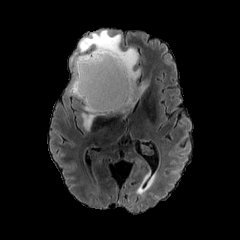
FLAIR MRI.
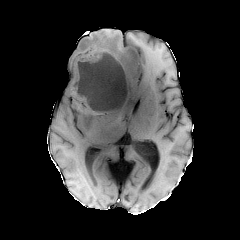
T1-weighted MR image.
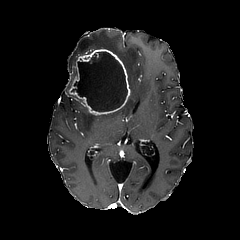
Same slice, post-contrast T1-weighted MR.
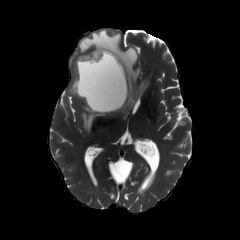
T2-weighted MR image.
Brain
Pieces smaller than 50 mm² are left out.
<segmentation>
  <enhancing_tumor>69 48 131 115</enhancing_tumor>
  <peritumoral_edema>67 29 147 116, 81 112 96 130</peritumoral_edema>
  <necrotic_tumor_core>72 51 127 111</necrotic_tumor_core>
</segmentation>